FLAIR MR image.
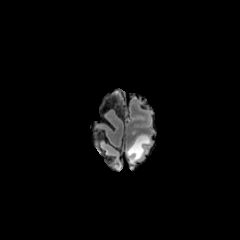
T1-weighted MR.
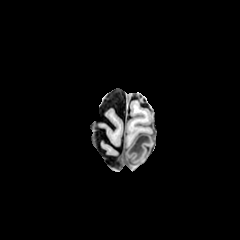
Post-contrast T1-weighted MR image.
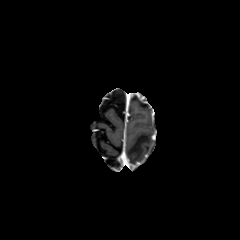
T2-weighted magnetic resonance.
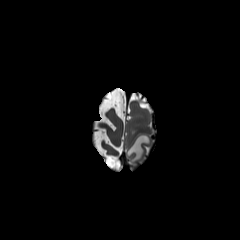
{
  "peritumoral_edema": [
    "126:134:151:162"
  ]
}